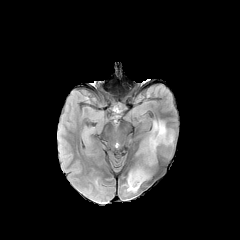
FLAIR MR image.
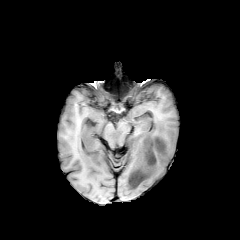
T1-weighted magnetic resonance.
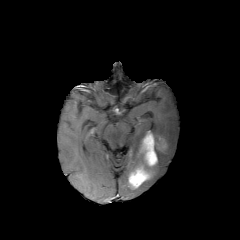
Post-contrast T1-weighted MR image of the same slice.
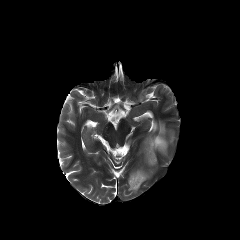
T2-weighted magnetic resonance of the same slice.
Brain, Axial plane
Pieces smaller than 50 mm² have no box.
The 2 largest peritumoral edema regions appear at bbox=[152, 121, 173, 146]; bbox=[127, 183, 139, 192]. 2 enhancing tumor regions are located at bbox=[141, 133, 166, 166]; bbox=[128, 166, 150, 188].